240x240 | Head
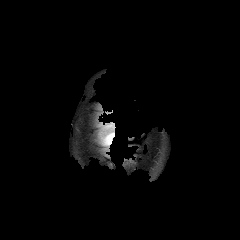
FLAIR MRI.
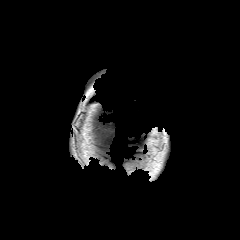
T1-weighted MR image.
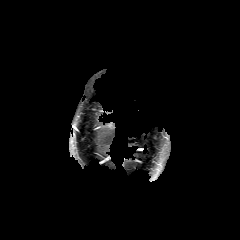
Post-contrast T1-weighted magnetic resonance of the same slice.
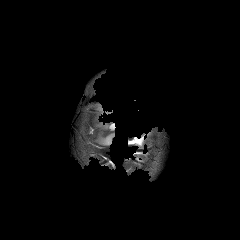
T2-weighted MR image.
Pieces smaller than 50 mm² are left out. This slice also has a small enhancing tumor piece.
The largest peritumoral edema region appears at 101:123:115:145.